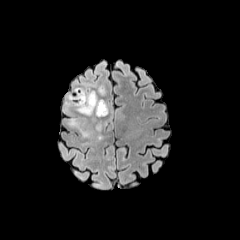
FLAIR magnetic resonance.
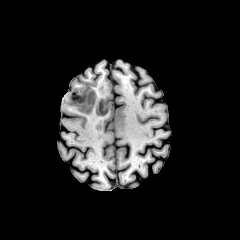
T1-weighted MR image.
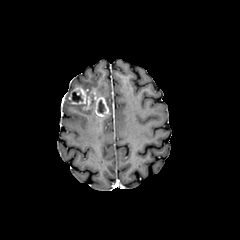
Post-contrast T1-weighted magnetic resonance of the same slice.
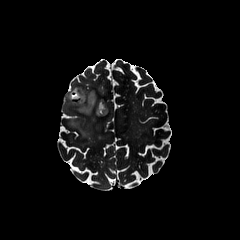
Same slice, T2-weighted MR image.
Axial view
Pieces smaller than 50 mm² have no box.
Findings:
• necrotic tumor core: bbox(97, 100, 105, 113); bbox(71, 91, 83, 102)
• peritumoral edema: bbox(95, 123, 103, 139); bbox(66, 93, 94, 115); bbox(68, 119, 78, 127)
• enhancing tumor: bbox(69, 87, 109, 117)